FLAIR MR image.
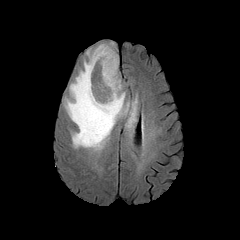
T1-weighted MR image.
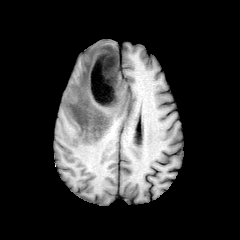
Post-contrast T1-weighted MR image.
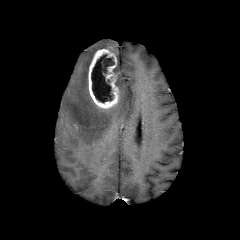
T2-weighted magnetic resonance.
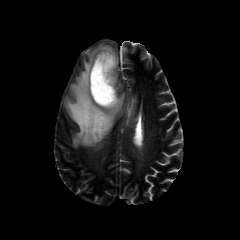
Axial view. Head.
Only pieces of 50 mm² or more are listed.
The largest peritumoral edema region lies within x1=64 y1=42 x2=137 y2=149. The enhancing tumor is bounded by x1=88 y1=46 x2=119 y2=108. The necrotic tumor core lies within x1=91 y1=54 x2=114 y2=102.